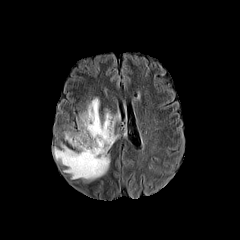
FLAIR MR.
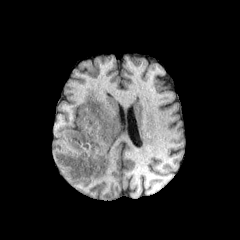
T1-weighted MR image.
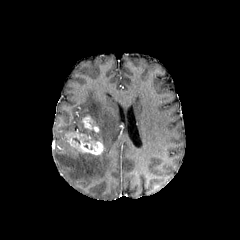
Post-contrast T1-weighted MR.
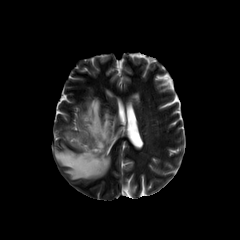
T2-weighted magnetic resonance.
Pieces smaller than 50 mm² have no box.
{
  "peritumoral_edema": [
    "51,97,119,180"
  ],
  "necrotic_tumor_core": [
    "83,130,98,140"
  ],
  "enhancing_tumor": [
    "65,132,103,155",
    "82,115,99,134"
  ]
}